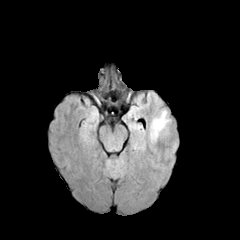
FLAIR MR image.
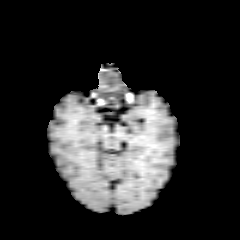
T1-weighted magnetic resonance.
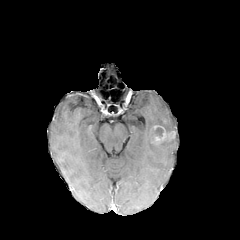
Post-contrast T1-weighted MR.
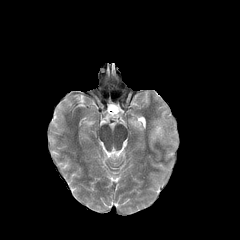
T2-weighted MRI.
Head, Axial slice, 240x240 px
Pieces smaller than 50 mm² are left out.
peritumoral edema: (150, 111, 169, 132)
necrotic tumor core: (156, 127, 163, 138)
enhancing tumor: (150, 126, 175, 142)